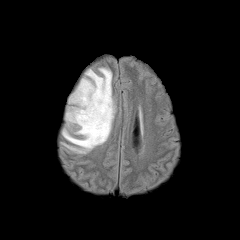
FLAIR MRI.
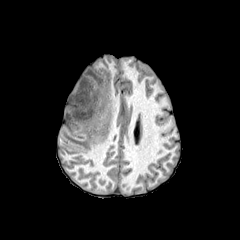
T1-weighted MRI.
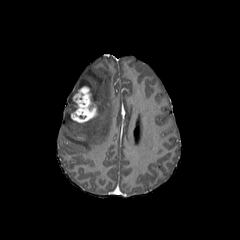
Post-contrast T1-weighted MR.
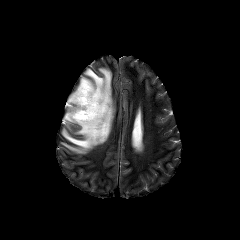
T2-weighted MR.
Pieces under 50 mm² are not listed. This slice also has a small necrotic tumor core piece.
The peritumoral edema lies within [62, 67, 115, 153]. The enhancing tumor appears at [71, 86, 97, 122].